Brain.
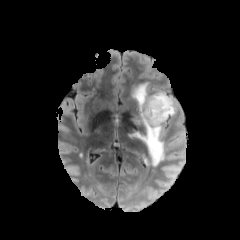
FLAIR MR.
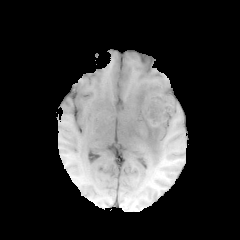
T1-weighted MRI.
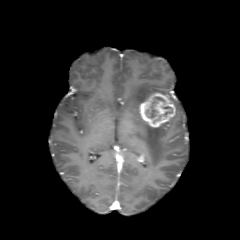
Post-contrast T1-weighted MR.
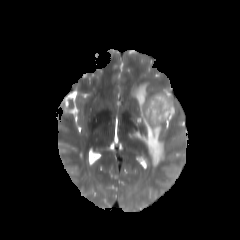
T2-weighted MR.
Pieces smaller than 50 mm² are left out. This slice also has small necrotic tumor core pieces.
enhancing tumor — 139, 93, 175, 127
peritumoral edema — 135, 115, 164, 166; 133, 83, 148, 106